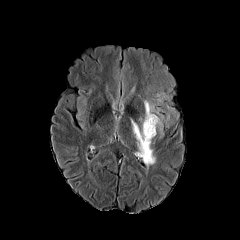
FLAIR magnetic resonance.
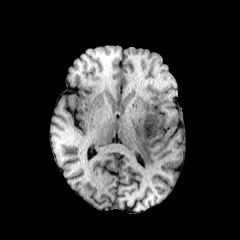
T1-weighted MR image.
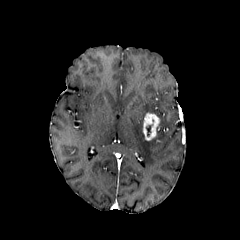
Post-contrast T1-weighted MR.
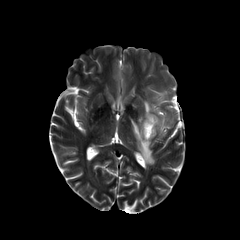
T2-weighted magnetic resonance.
Brain.
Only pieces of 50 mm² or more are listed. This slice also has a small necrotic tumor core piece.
The enhancing tumor is bounded by rect(143, 112, 159, 140). The 2 largest peritumoral edema regions are bounded by rect(131, 120, 155, 166); rect(144, 101, 154, 112).